240x240 px; Axial slice; Brain
FLAIR MR image.
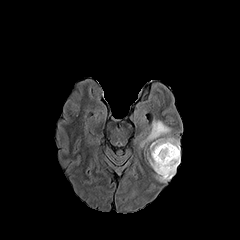
T1-weighted magnetic resonance.
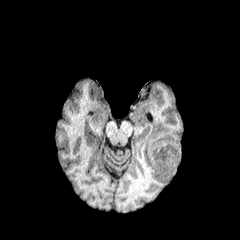
Post-contrast T1-weighted MRI.
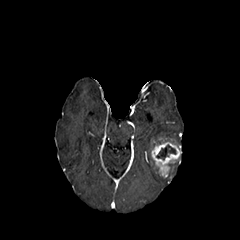
T2-weighted MRI.
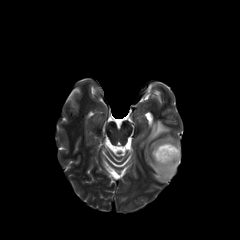
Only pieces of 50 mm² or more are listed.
The 2 largest peritumoral edema regions are bounded by box(140, 120, 179, 147); box(156, 162, 179, 182). The enhancing tumor is bounded by box(150, 137, 180, 178). The necrotic tumor core is located at box(156, 145, 176, 159).